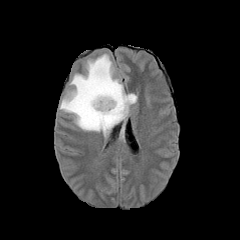
FLAIR magnetic resonance.
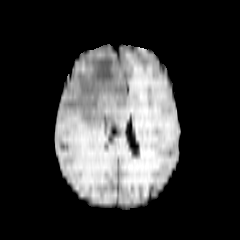
T1-weighted MRI.
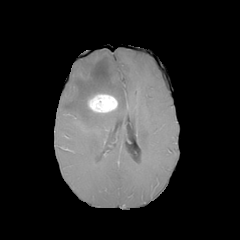
Post-contrast T1-weighted MR.
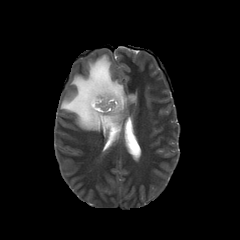
T2-weighted MRI.
Brain
peritumoral edema: [60, 54, 137, 143]
enhancing tumor: [87, 93, 118, 113]